Head; Image size 240x240; Slice 73 of 155; Axial slice
FLAIR MRI.
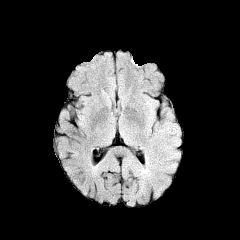
T1-weighted MRI.
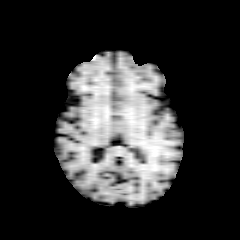
Post-contrast T1-weighted MR image.
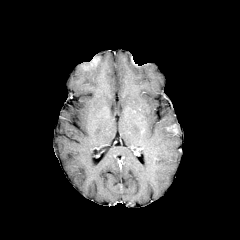
T2-weighted MR image.
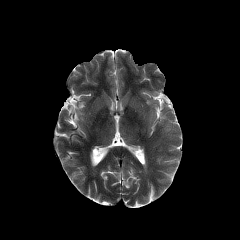
enhancing tumor = 167, 124, 178, 132